240x240 px; Slice 112/155; Axial plane
FLAIR MRI.
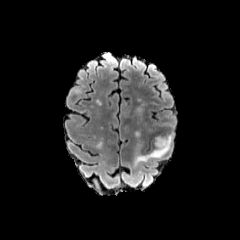
T1-weighted MR.
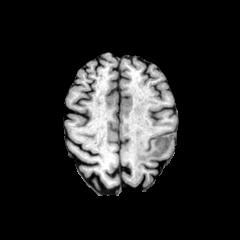
Post-contrast T1-weighted MR.
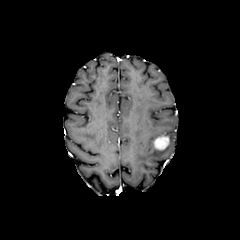
T2-weighted MR.
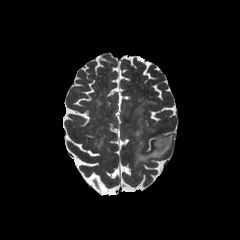
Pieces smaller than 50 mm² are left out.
peritumoral edema: 133:134:173:165
enhancing tumor: 154:135:169:150